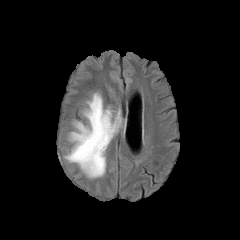
FLAIR magnetic resonance.
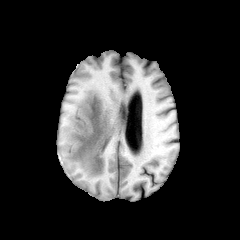
T1-weighted magnetic resonance.
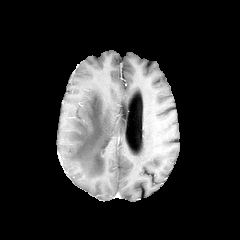
Post-contrast T1-weighted MR of the same slice.
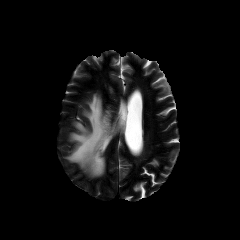
T2-weighted magnetic resonance of the same slice.
Axial plane; 240x240; Head
peritumoral edema: box=[65, 93, 125, 177]